Axial slice. Slice 55 of 155.
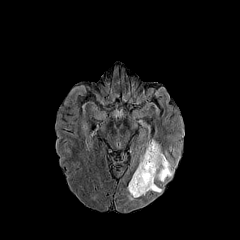
FLAIR MR image.
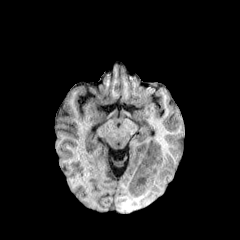
Same slice, T1-weighted MRI.
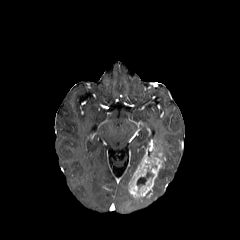
Same slice, post-contrast T1-weighted MR image.
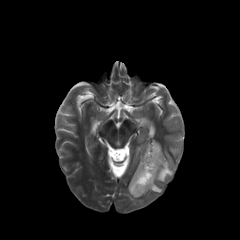
T2-weighted MR.
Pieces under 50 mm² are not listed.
- enhancing tumor: left=128, top=140, right=165, bottom=198
- necrotic tumor core: left=137, top=172, right=152, bottom=186
- peritumoral edema: left=153, top=184, right=162, bottom=192; left=157, top=160, right=173, bottom=182